Brain, Slice index 112, Axial plane
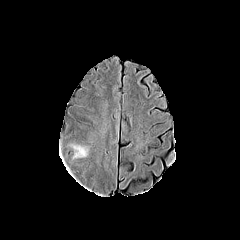
FLAIR magnetic resonance.
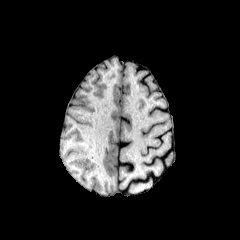
T1-weighted MR image.
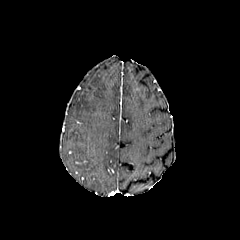
Post-contrast T1-weighted magnetic resonance of the same slice.
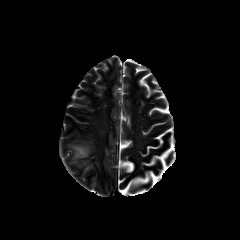
T2-weighted MR image.
peritumoral edema: region(74, 146, 86, 156)